Brain
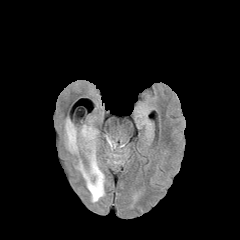
FLAIR MR.
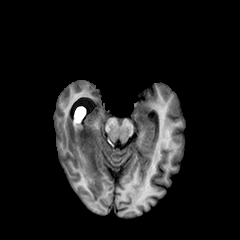
T1-weighted MR.
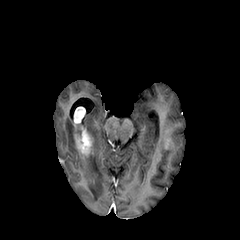
Same slice, post-contrast T1-weighted MRI.
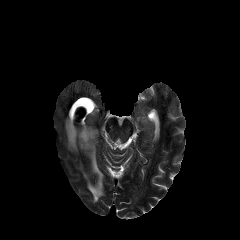
T2-weighted MR.
peritumoral edema: bounding box 65, 118, 81, 154; 76, 125, 104, 202
enhancing tumor: bounding box 74, 128, 92, 155